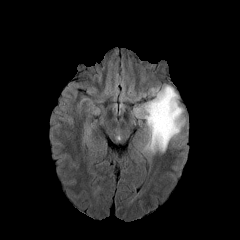
FLAIR MRI.
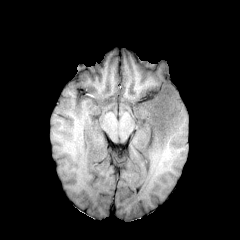
T1-weighted MR image of the same slice.
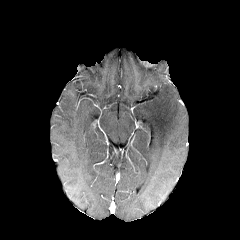
Post-contrast T1-weighted MRI.
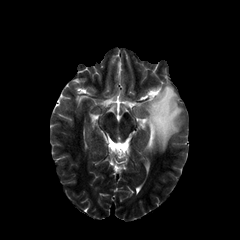
Same slice, T2-weighted magnetic resonance.
Brain
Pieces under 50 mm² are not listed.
Annotated regions:
* peritumoral edema: <box>134,85,185,153</box>